FLAIR MR image.
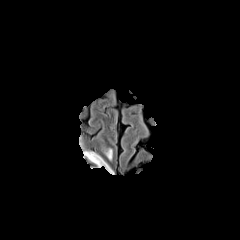
T1-weighted MRI.
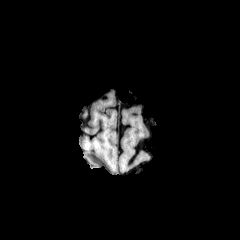
Post-contrast T1-weighted MR image.
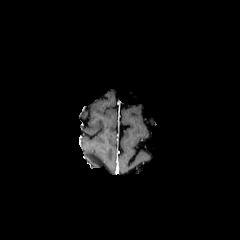
T2-weighted MRI.
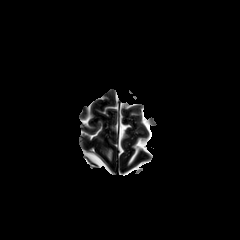
Axial view
peritumoral edema = l=83, t=151, r=113, b=173; l=106, t=149, r=112, b=159